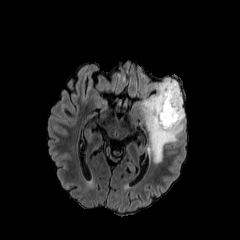
FLAIR MR image.
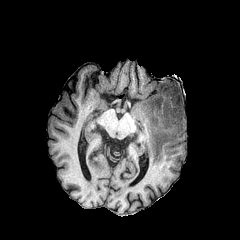
T1-weighted MR image.
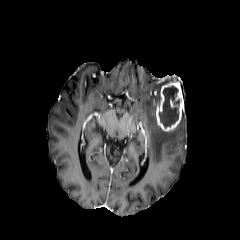
Post-contrast T1-weighted magnetic resonance of the same slice.
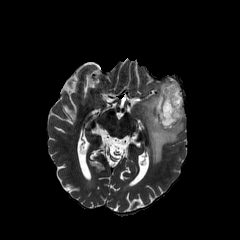
T2-weighted MRI.
Axial slice.
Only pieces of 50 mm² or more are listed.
The peritumoral edema is located at [141, 78, 185, 163]. The largest enhancing tumor region appears at [153, 80, 184, 131]. The necrotic tumor core appears at [158, 86, 179, 127].